FLAIR MR.
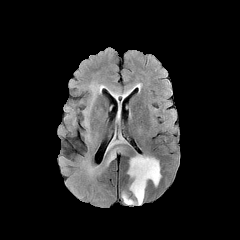
T1-weighted magnetic resonance.
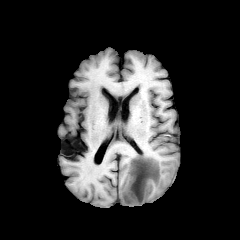
Post-contrast T1-weighted magnetic resonance.
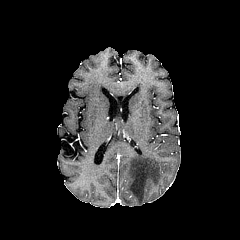
T2-weighted MR.
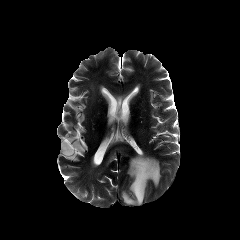
240x240 px, Axial plane
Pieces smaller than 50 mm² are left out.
peritumoral edema: l=122, t=155, r=161, b=205; l=105, t=147, r=127, b=167